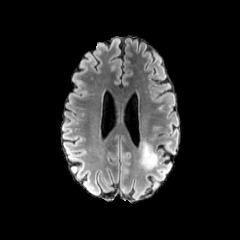
FLAIR MRI.
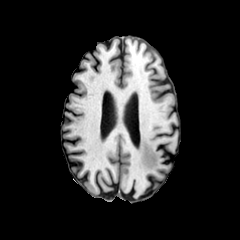
T1-weighted MR image.
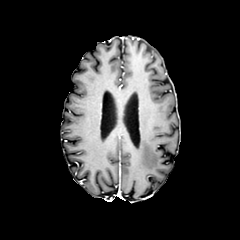
Post-contrast T1-weighted MR image.
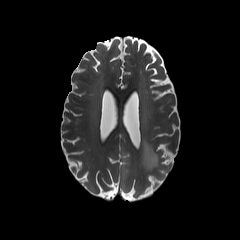
Same slice, T2-weighted MRI.
Axial slice. Brain.
{
  "peritumoral_edema": [
    "(left=139, top=141, right=157, bottom=170)"
  ]
}